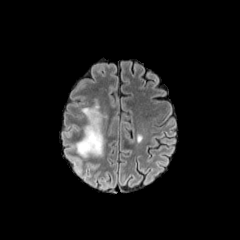
FLAIR MR image.
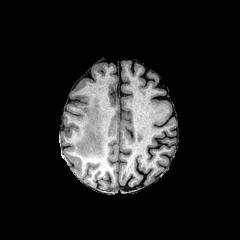
T1-weighted MR image.
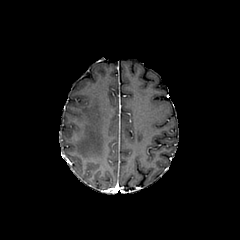
Post-contrast T1-weighted MR image.
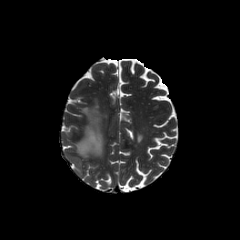
T2-weighted MR image.
Brain. Axial view. 240x240 px.
peritumoral edema: {"x1": 76, "y1": 98, "x2": 107, "y2": 157}